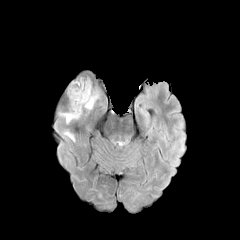
FLAIR MR image.
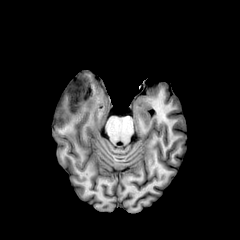
Same slice, T1-weighted MRI.
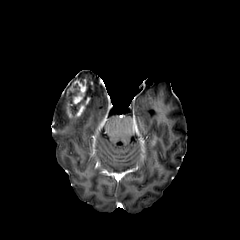
Post-contrast T1-weighted MR image.
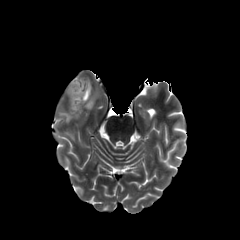
Same slice, T2-weighted MR image.
Brain | Axial view
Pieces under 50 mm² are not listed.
3 peritumoral edema regions appear at x1=59 y1=113 x2=78 y2=123, x1=64 y1=132 x2=74 y2=141, x1=86 y1=92 x2=98 y2=109. The largest necrotic tumor core region is at x1=72 y1=82 x2=93 y2=112. The enhancing tumor is located at x1=66 y1=78 x2=93 y2=117.